Slice 48/155. 240x240 px.
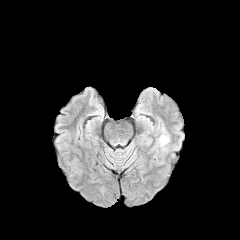
FLAIR MRI.
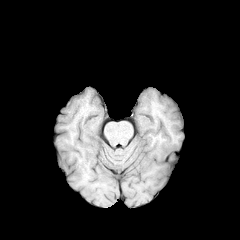
T1-weighted MR.
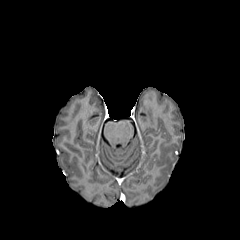
Post-contrast T1-weighted MR of the same slice.
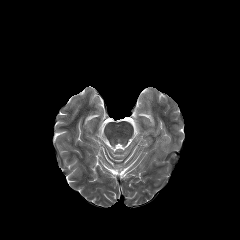
T2-weighted MR image.
peritumoral edema: bounding box 160, 135, 168, 145